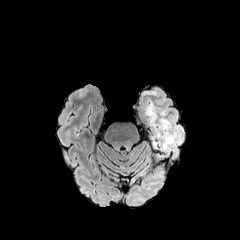
FLAIR MR image.
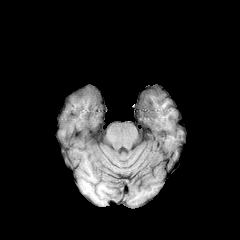
T1-weighted MR image.
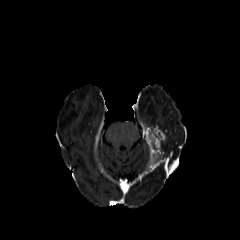
Post-contrast T1-weighted MR image.
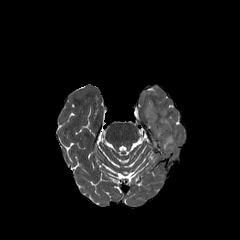
T2-weighted MR image.
Head, Axial plane
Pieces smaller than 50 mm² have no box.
Segmented structures:
- enhancing tumor: {"x1": 146, "y1": 126, "x2": 165, "y2": 154}
- peritumoral edema: {"x1": 146, "y1": 102, "x2": 174, "y2": 149}